Axial plane. 240x240. Brain. Slice 78/155.
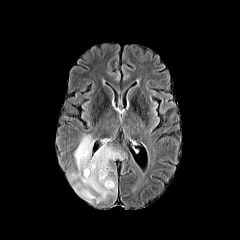
FLAIR MRI.
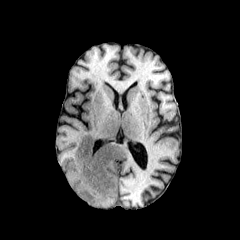
T1-weighted MR image of the same slice.
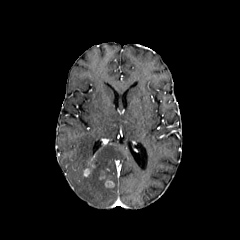
Same slice, post-contrast T1-weighted MRI.
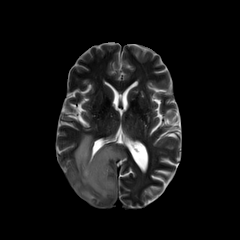
T2-weighted MR image.
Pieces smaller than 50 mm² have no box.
<segmentation>
  <enhancing_tumor>[105,179,114,187], [83,155,94,176]</enhancing_tumor>
  <peritumoral_edema>[68,135,122,204]</peritumoral_edema>
</segmentation>